FLAIR MR image.
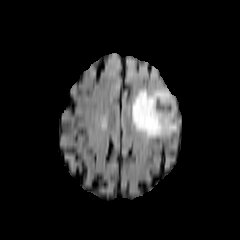
T1-weighted MRI.
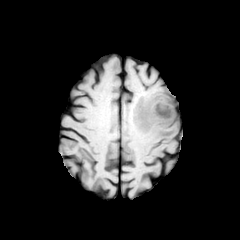
Post-contrast T1-weighted MR.
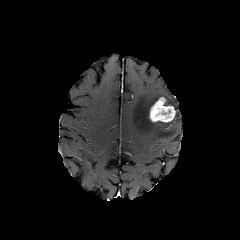
T2-weighted magnetic resonance.
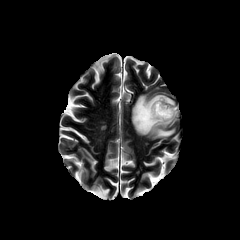
Axial slice
necrotic tumor core: bbox(156, 108, 171, 118)
peritumoral edema: bbox(132, 89, 176, 137)
enhancing tumor: bbox(149, 97, 176, 122)